Brain; Image covers 240 mm x 240 mm; 240x240 px
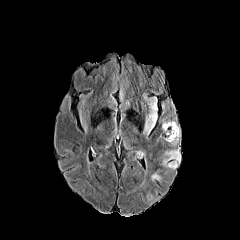
FLAIR magnetic resonance.
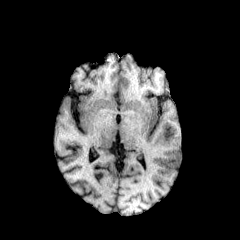
T1-weighted magnetic resonance of the same slice.
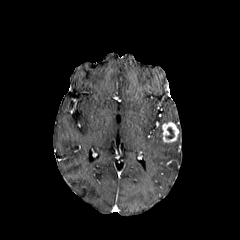
Same slice, post-contrast T1-weighted MR.
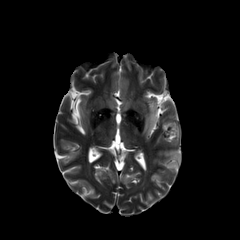
T2-weighted magnetic resonance.
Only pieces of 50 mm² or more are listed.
enhancing tumor — [x1=162, y1=121, x2=179, y2=142]
necrotic tumor core — [x1=166, y1=128, x2=174, y2=138]
peritumoral edema — [x1=164, y1=149, x2=181, y2=169], [x1=144, y1=100, x2=157, y2=134]